Head, Axial plane, 240x240
FLAIR MR image.
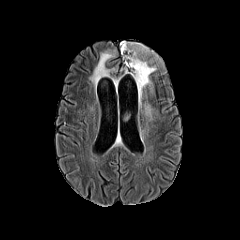
T1-weighted magnetic resonance.
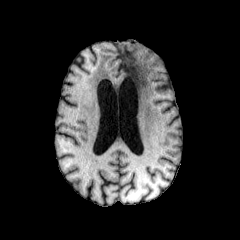
Post-contrast T1-weighted MR.
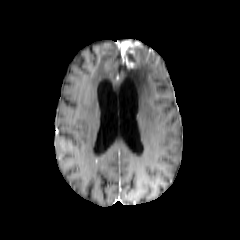
T2-weighted MR image.
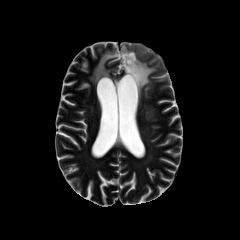
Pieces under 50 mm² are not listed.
- necrotic tumor core: (126, 48, 133, 61)
- peritumoral edema: (90, 51, 115, 84), (124, 45, 156, 106)
- enhancing tumor: (120, 41, 142, 68)